Slice 77 of 155; Brain
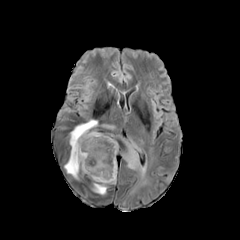
FLAIR MRI.
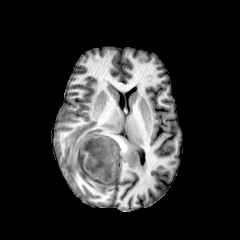
T1-weighted MR image.
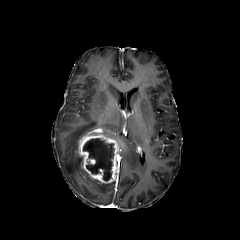
Post-contrast T1-weighted MR.
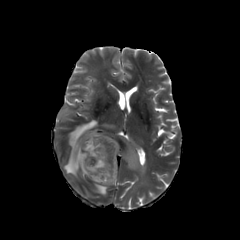
T2-weighted MRI of the same slice.
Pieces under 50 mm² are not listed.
{"peritumoral_edema": ["(left=64, top=120, right=97, bottom=178)", "(left=123, top=142, right=146, bottom=177)", "(left=93, top=183, right=109, bottom=194)"], "necrotic_tumor_core": ["(left=83, top=138, right=113, bottom=180)"], "enhancing_tumor": ["(left=76, top=132, right=120, bottom=183)"]}